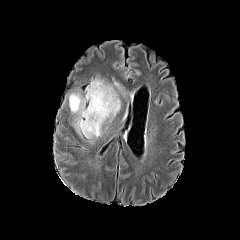
FLAIR MR.
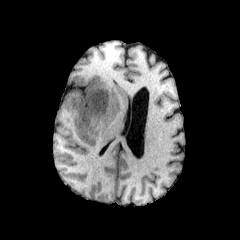
T1-weighted MR.
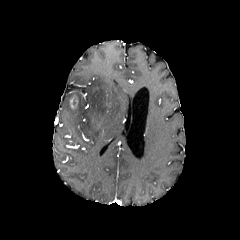
Post-contrast T1-weighted MR image.
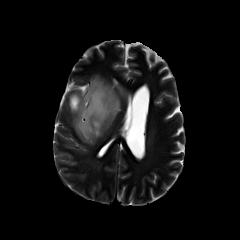
T2-weighted MRI.
Brain. Image size 240x240.
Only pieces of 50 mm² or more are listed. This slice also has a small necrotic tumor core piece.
Annotated regions:
* enhancing tumor: 70,95,78,109
* peritumoral edema: 69,78,120,138